FLAIR MR.
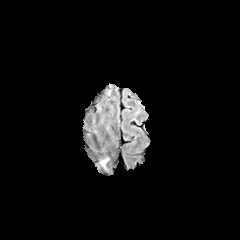
T1-weighted MRI.
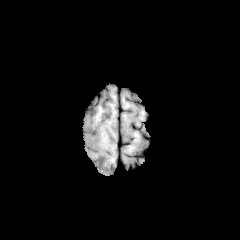
Post-contrast T1-weighted MR image.
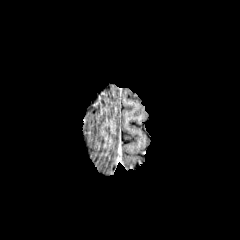
T2-weighted MR.
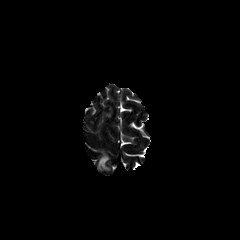
Image size 240x240 | Brain
{"peritumoral_edema": ["(99,158,108,169)"]}